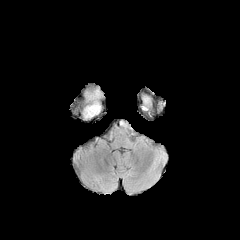
FLAIR MR.
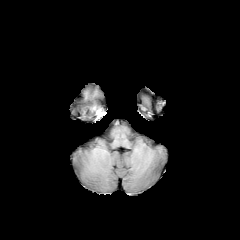
Same slice, T1-weighted magnetic resonance.
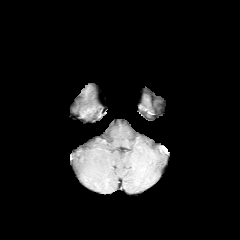
Post-contrast T1-weighted MRI.
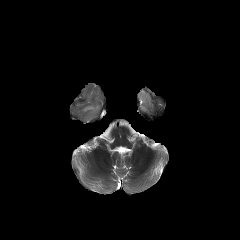
T2-weighted MRI.
240x240 px, Head, Axial slice
- peritumoral edema: (84,103,100,117)